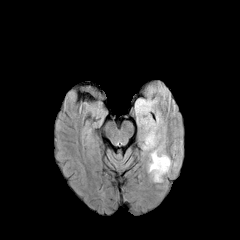
FLAIR MR image.
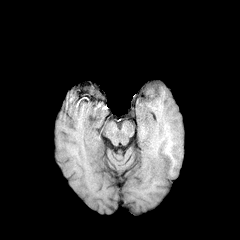
T1-weighted MR image.
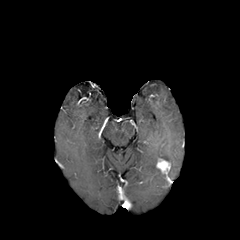
Post-contrast T1-weighted MRI.
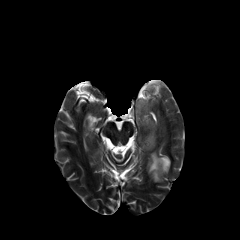
T2-weighted MR.
Axial view
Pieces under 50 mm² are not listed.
The enhancing tumor is located at (x1=156, y1=158, x2=170, y2=173). The 3 largest peritumoral edema regions appear at (x1=156, y1=89, x2=169, y2=95), (x1=148, y1=145, x2=171, y2=181), (x1=135, y1=98, x2=162, y2=149).